FLAIR MR.
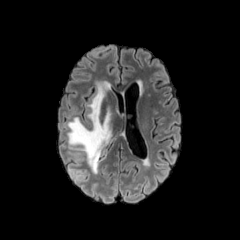
T1-weighted MR.
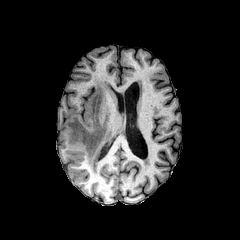
Post-contrast T1-weighted MRI.
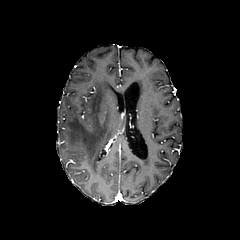
T2-weighted MRI.
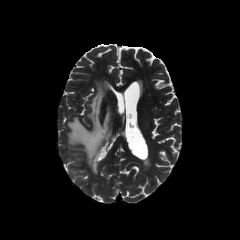
Head
{
  "peritumoral_edema": [
    "67, 80, 114, 173"
  ]
}